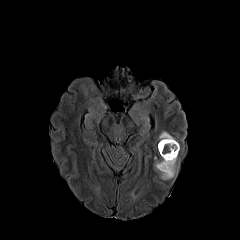
FLAIR MR image.
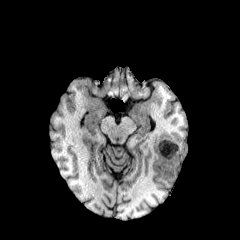
Same slice, T1-weighted magnetic resonance.
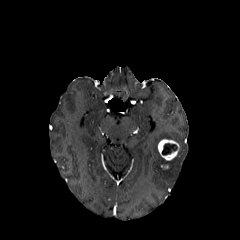
Post-contrast T1-weighted magnetic resonance.
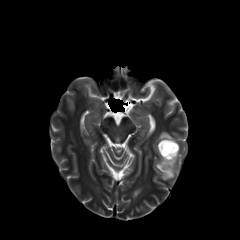
T2-weighted MR image.
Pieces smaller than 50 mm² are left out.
peritumoral_edema:
  - [158, 131, 175, 140]
  - [154, 155, 179, 180]
enhancing_tumor:
  - [158, 139, 179, 160]
necrotic_tumor_core:
  - [162, 143, 177, 155]